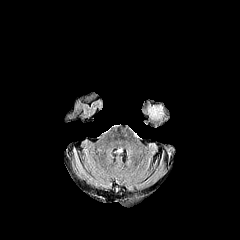
FLAIR MR.
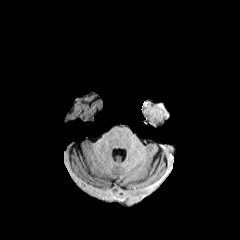
T1-weighted MRI.
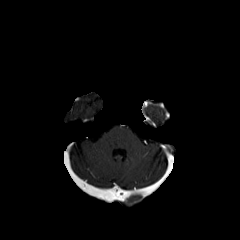
Same slice, post-contrast T1-weighted magnetic resonance.
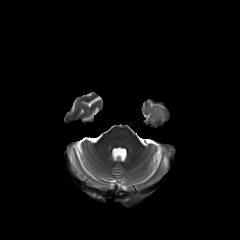
Same slice, T2-weighted MR.
240x240 px. Brain.
peritumoral edema: bbox(152, 108, 161, 115)